FLAIR MR.
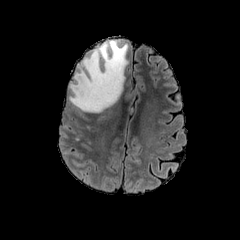
T1-weighted MR.
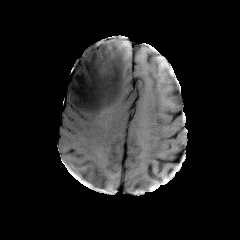
Post-contrast T1-weighted MR image.
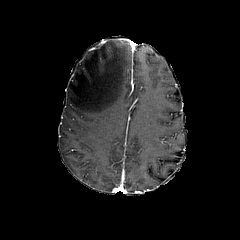
T2-weighted MRI.
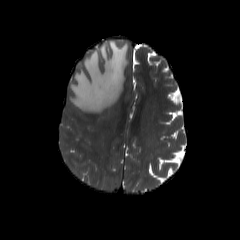
Axial plane. 240x240 px.
The peritumoral edema is bounded by region(69, 40, 128, 113).